FLAIR MRI.
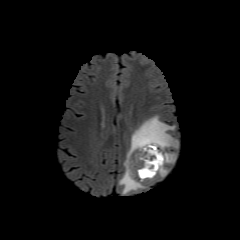
T1-weighted MR image.
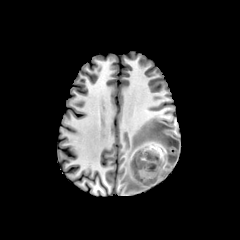
Post-contrast T1-weighted MR.
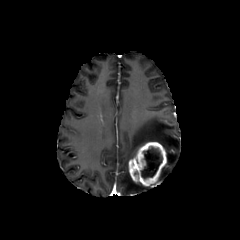
T2-weighted MR.
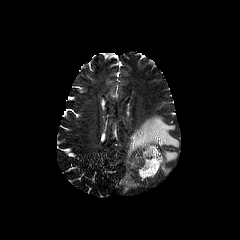
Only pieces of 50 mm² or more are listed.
necrotic tumor core: (141,147,162,178) | peritumoral edema: (119,115,178,194), (159,166,169,177), (166,151,176,163) | enhancing tumor: (128,142,166,186)